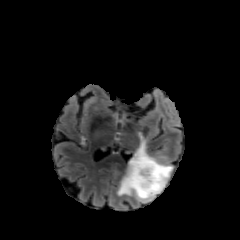
FLAIR MRI.
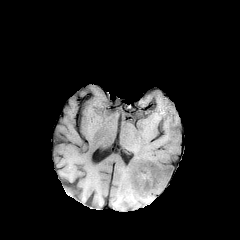
T1-weighted MR image.
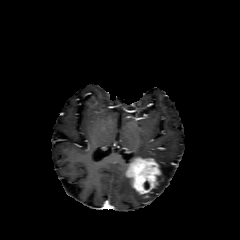
Same slice, post-contrast T1-weighted magnetic resonance.
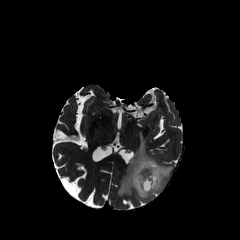
T2-weighted MR.
Brain. Axial plane.
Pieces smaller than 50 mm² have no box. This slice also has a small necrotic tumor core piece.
The enhancing tumor appears at (126, 157, 161, 197). The peritumoral edema appears at (117, 136, 173, 202).